Head
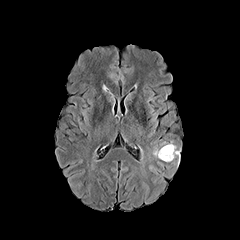
FLAIR MR.
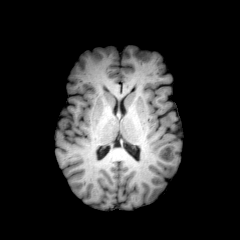
T1-weighted MR image.
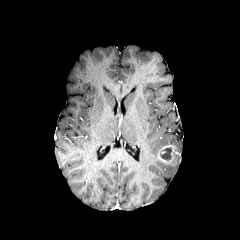
Post-contrast T1-weighted MR of the same slice.
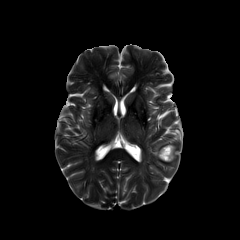
T2-weighted MR image.
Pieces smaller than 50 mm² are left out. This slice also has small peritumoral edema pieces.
The enhancing tumor is at region(158, 144, 179, 162). The largest necrotic tumor core region is bounded by region(160, 147, 171, 160).